Image covers 240 mm x 240 mm.
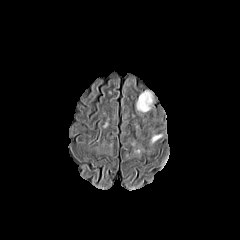
FLAIR MR image.
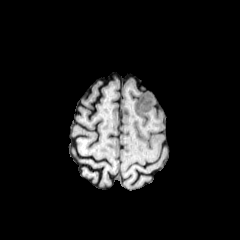
T1-weighted magnetic resonance.
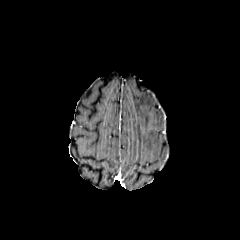
Same slice, post-contrast T1-weighted MR.
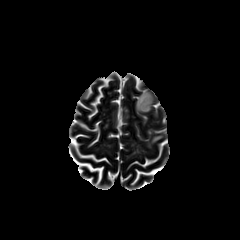
T2-weighted MR of the same slice.
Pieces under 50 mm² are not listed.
Findings:
- peritumoral edema: 136,89,154,112